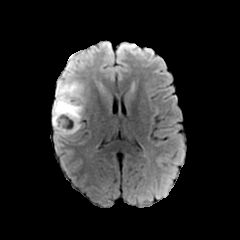
FLAIR MR.
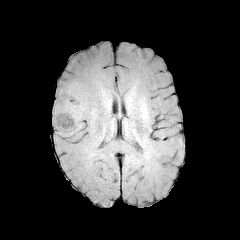
T1-weighted MR of the same slice.
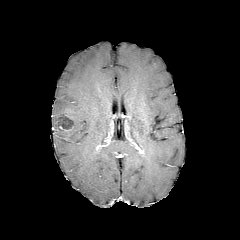
Post-contrast T1-weighted MR image.
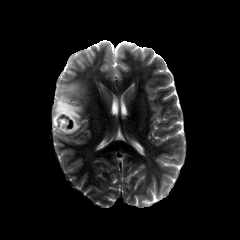
T2-weighted MR image.
Head
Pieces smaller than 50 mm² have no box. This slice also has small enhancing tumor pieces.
peritumoral edema: x1=52, y1=78, x2=85, y2=137
necrotic tumor core: x1=58, y1=116, x2=75, y2=129